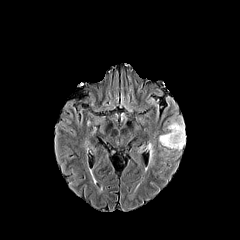
FLAIR MR.
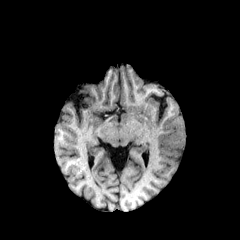
T1-weighted MR image.
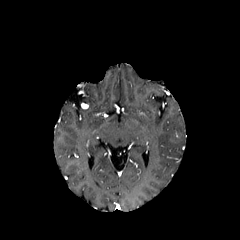
Post-contrast T1-weighted MR.
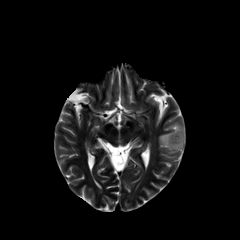
T2-weighted MR.
Axial plane | Head
- peritumoral edema: {"x1": 159, "y1": 118, "x2": 185, "y2": 150}
- enhancing tumor: {"x1": 169, "y1": 131, "x2": 180, "y2": 142}